FLAIR magnetic resonance.
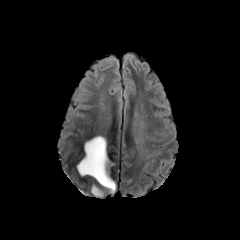
T1-weighted magnetic resonance.
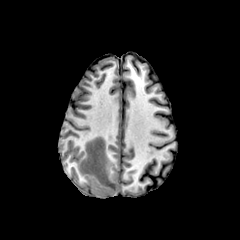
Post-contrast T1-weighted MR image.
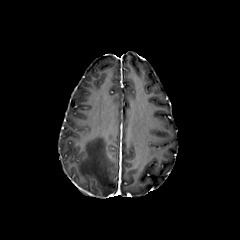
T2-weighted MR.
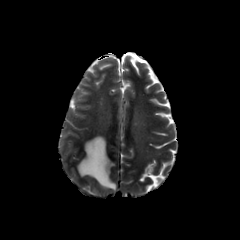
2 peritumoral edema regions are bounded by (92,186,103,195), (77,136,116,192).